Slice 112 of 155
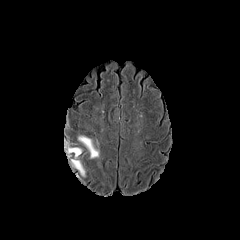
FLAIR MR.
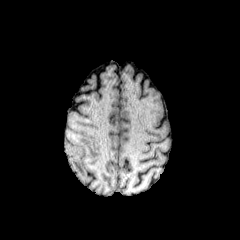
T1-weighted MR of the same slice.
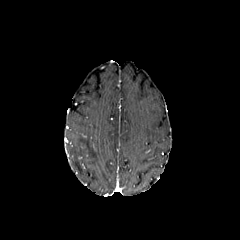
Post-contrast T1-weighted magnetic resonance.
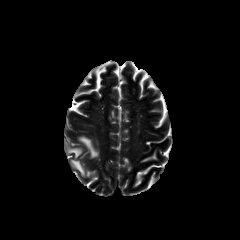
T2-weighted MR.
peritumoral edema — <box>67,146,85,176</box>, <box>78,136,99,158</box>